Image size 240x240, Slice 99/155, Axial plane
FLAIR MR image.
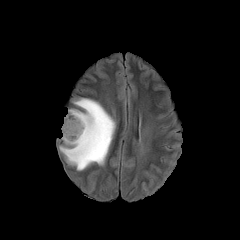
T1-weighted MRI.
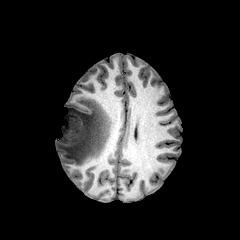
Post-contrast T1-weighted MR.
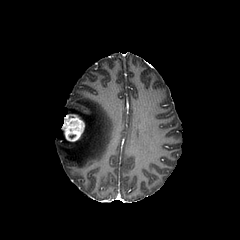
T2-weighted magnetic resonance.
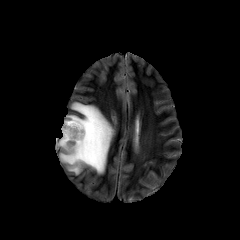
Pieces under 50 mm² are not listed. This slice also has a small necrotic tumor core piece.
enhancing_tumor:
  - (x1=62, y1=114, x2=84, y2=141)
peritumoral_edema:
  - (x1=58, y1=98, x2=115, y2=170)